240x240, Head, Slice 100 of 155, Axial plane
FLAIR MR image.
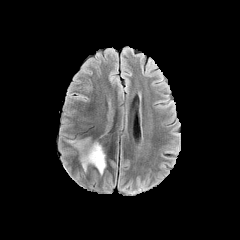
T1-weighted MR.
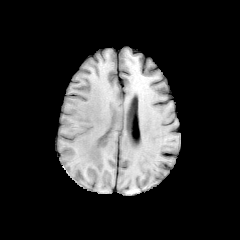
Post-contrast T1-weighted MR.
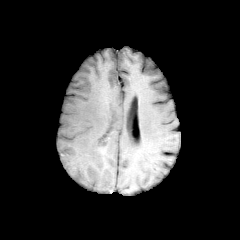
T2-weighted magnetic resonance.
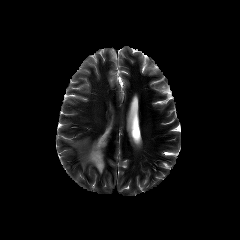
peritumoral_edema:
  - 67, 136, 108, 175
enhancing_tumor:
  - 98, 147, 106, 153